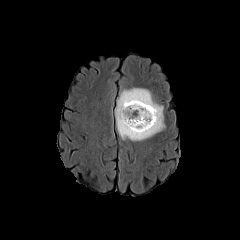
FLAIR MRI.
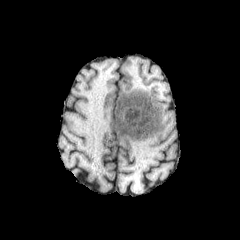
T1-weighted MR.
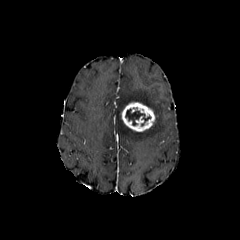
Post-contrast T1-weighted MRI.
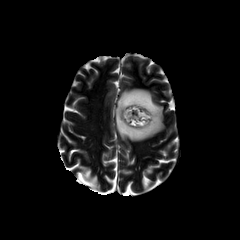
T2-weighted magnetic resonance.
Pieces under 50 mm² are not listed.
{
  "peritumoral_edema": [
    "[115, 88, 165, 141]"
  ],
  "enhancing_tumor": [
    "[121, 102, 155, 131]"
  ],
  "necrotic_tumor_core": [
    "[125, 109, 150, 125]"
  ]
}